FLAIR MR.
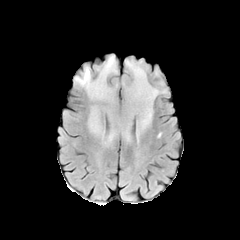
T1-weighted MRI.
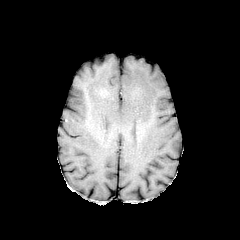
Post-contrast T1-weighted magnetic resonance.
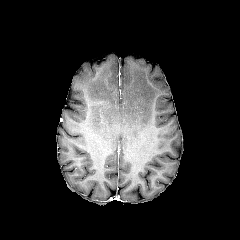
T2-weighted MR image.
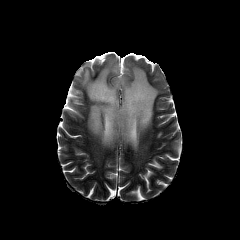
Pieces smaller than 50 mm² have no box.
peritumoral_edema:
  - bbox(75, 55, 165, 141)